Slice 97 of 155, Head
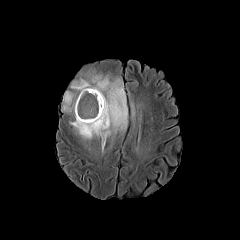
FLAIR MR.
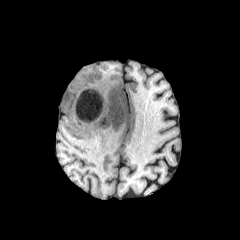
T1-weighted MRI of the same slice.
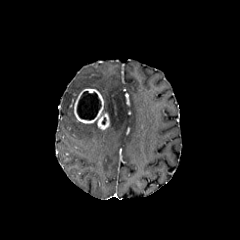
Same slice, post-contrast T1-weighted magnetic resonance.
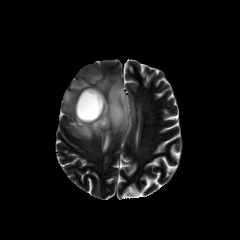
T2-weighted MR.
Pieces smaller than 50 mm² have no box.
The largest necrotic tumor core region lies within <box>77,91,101,120</box>. The largest peritumoral edema region appears at <box>62,65,128,146</box>. The enhancing tumor is bounded by <box>74,88,109,129</box>.